Axial plane
FLAIR magnetic resonance.
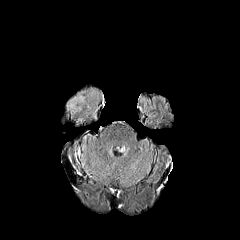
T1-weighted MR image.
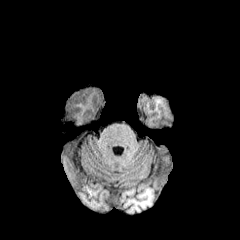
Post-contrast T1-weighted magnetic resonance.
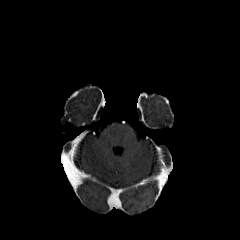
T2-weighted magnetic resonance.
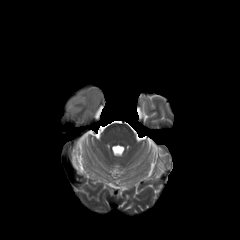
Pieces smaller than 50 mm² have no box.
peritumoral edema: rect(67, 95, 84, 113)